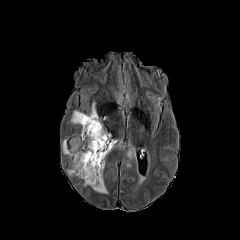
FLAIR magnetic resonance.
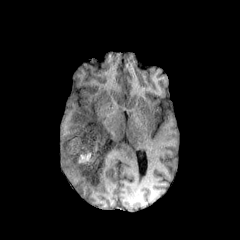
T1-weighted MRI.
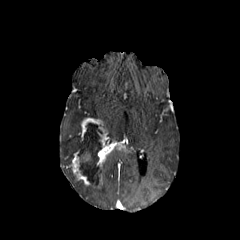
Post-contrast T1-weighted magnetic resonance of the same slice.
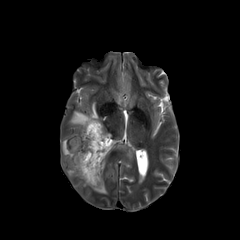
T2-weighted magnetic resonance.
240x240
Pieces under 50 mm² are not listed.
enhancing_tumor:
  - [x1=69, y1=117, x2=132, y2=188]
necrotic_tumor_core:
  - [x1=78, y1=123, x2=102, y2=186]
peritumoral_edema:
  - [x1=62, y1=135, x2=80, y2=162]
  - [x1=92, y1=179, x2=107, y2=193]
  - [x1=70, y1=103, x2=98, y2=124]